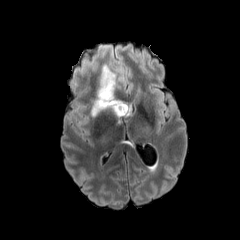
FLAIR MR.
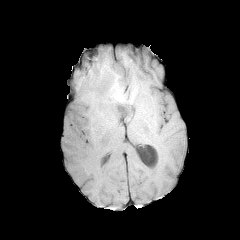
T1-weighted MR image.
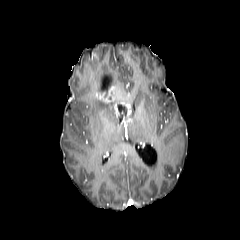
Same slice, post-contrast T1-weighted MR image.
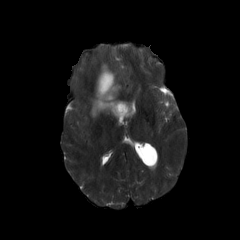
T2-weighted MRI.
Head, Axial plane
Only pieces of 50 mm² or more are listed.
The largest necrotic tumor core region is located at (left=102, top=76, right=109, bottom=89). The 2 largest peritumoral edema regions are located at (left=96, top=65, right=119, bottom=93), (left=91, top=96, right=115, bottom=116). The enhancing tumor is at (left=96, top=86, right=131, bottom=116).